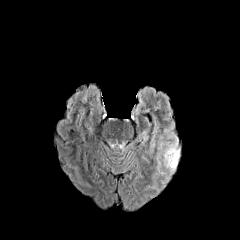
FLAIR MR.
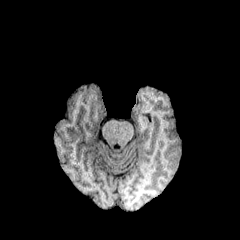
Same slice, T1-weighted MRI.
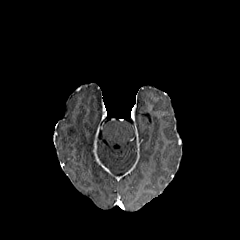
Post-contrast T1-weighted MR image.
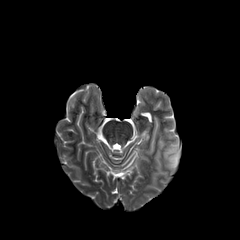
T2-weighted MR image of the same slice.
Axial view
{
  "peritumoral_edema": [
    "<box>159,139,179,171</box>"
  ]
}